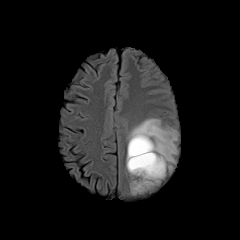
FLAIR MR image.
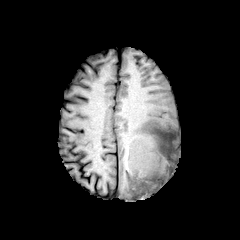
Same slice, T1-weighted magnetic resonance.
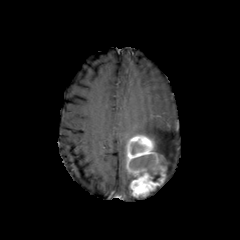
Post-contrast T1-weighted MR image.
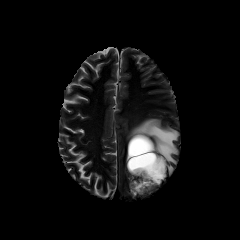
T2-weighted magnetic resonance of the same slice.
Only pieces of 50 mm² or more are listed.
peritumoral edema: x1=127 y1=118 x2=178 y2=173
enhancing tumor: x1=126 y1=134 x2=166 y2=197
necrotic tumor core: x1=130 y1=155 x2=161 y2=184, x1=132 y1=143 x2=141 y2=153